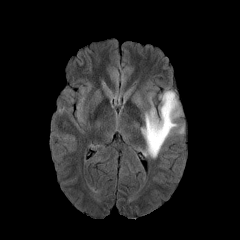
FLAIR magnetic resonance.
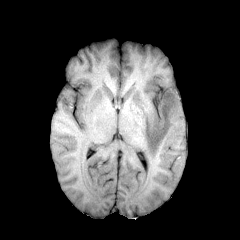
Same slice, T1-weighted MR.
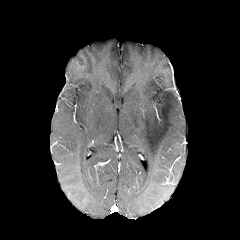
Same slice, post-contrast T1-weighted MR.
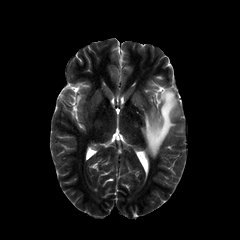
T2-weighted MR.
Head.
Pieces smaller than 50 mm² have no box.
The largest peritumoral edema region is located at [x1=141, y1=90, x2=181, y2=158].